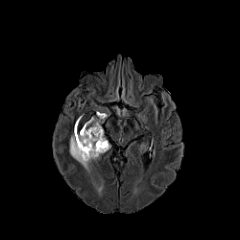
FLAIR MRI.
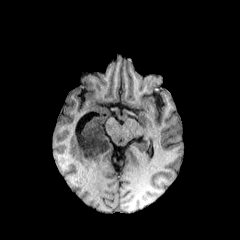
Same slice, T1-weighted magnetic resonance.
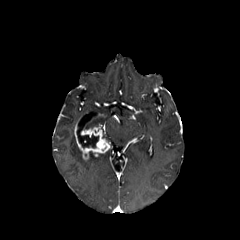
Same slice, post-contrast T1-weighted magnetic resonance.
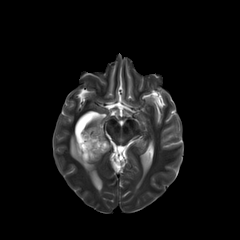
T2-weighted MRI.
Brain.
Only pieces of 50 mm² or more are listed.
necrotic tumor core: bounding box x1=78, y1=134, x2=98, y2=147
peritumoral edema: bounding box x1=84, y1=113, x2=106, y2=129; x1=70, y1=134, x2=100, y2=166
enhancing tumor: bounding box x1=74, y1=122, x2=110, y2=160